Image width 240 mm | Axial view | Head | Image size 240x240
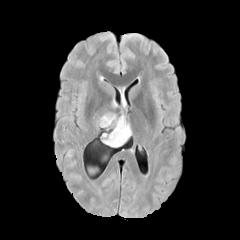
FLAIR MR image.
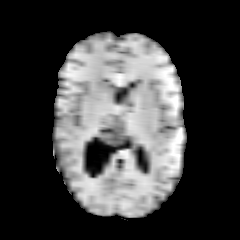
T1-weighted MRI of the same slice.
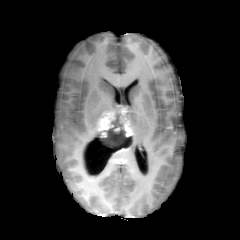
Post-contrast T1-weighted MR image.
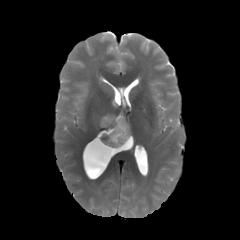
Same slice, T2-weighted magnetic resonance.
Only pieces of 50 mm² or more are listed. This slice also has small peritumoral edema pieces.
The necrotic tumor core lies within (x1=100, y1=116, x2=130, y2=147). 2 enhancing tumor regions are located at (x1=97, y1=112, x2=115, y2=137), (x1=114, y1=107, x2=133, y2=136).